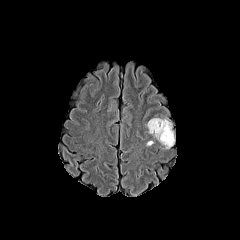
FLAIR MR.
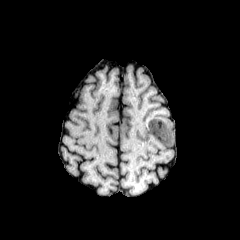
T1-weighted MR.
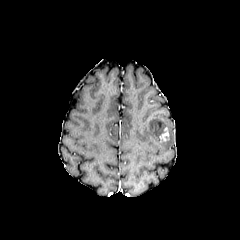
Post-contrast T1-weighted MR image.
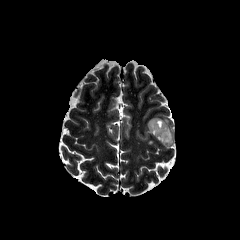
T2-weighted MRI of the same slice.
Axial slice; Brain
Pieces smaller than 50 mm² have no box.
<segmentation>
  <enhancing_tumor>l=160, t=127, r=169, b=142</enhancing_tumor>
  <peritumoral_edema>l=147, t=118, r=174, b=148</peritumoral_edema>
</segmentation>